240x240 px
FLAIR magnetic resonance.
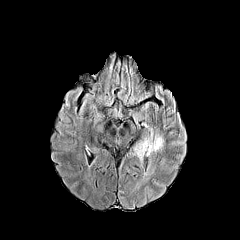
T1-weighted magnetic resonance.
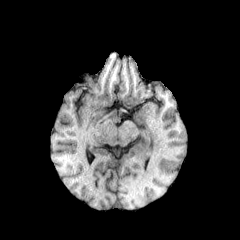
Post-contrast T1-weighted MR.
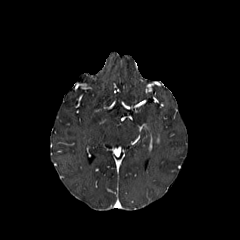
T2-weighted MR image.
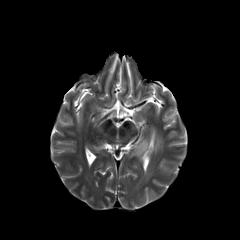
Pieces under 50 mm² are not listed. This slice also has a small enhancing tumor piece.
<segmentation>
  <peritumoral_edema>rect(132, 136, 149, 161); rect(151, 135, 162, 153)</peritumoral_edema>
</segmentation>